FLAIR magnetic resonance.
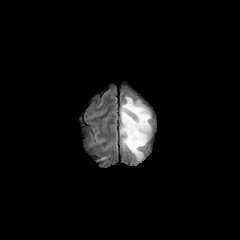
T1-weighted MR.
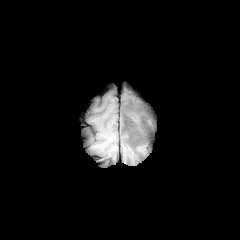
Post-contrast T1-weighted magnetic resonance.
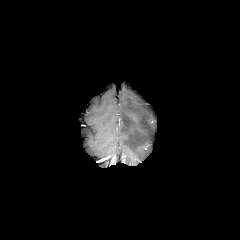
T2-weighted magnetic resonance.
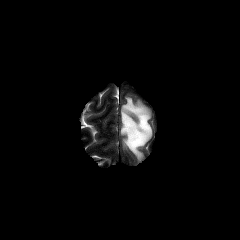
Head
peritumoral edema at (120, 96, 151, 159)